Image size 240x240.
FLAIR MR.
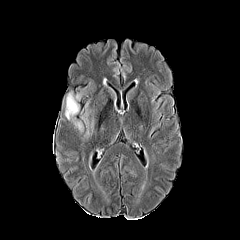
T1-weighted MR image.
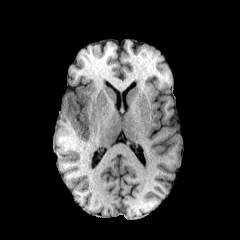
Post-contrast T1-weighted MR image.
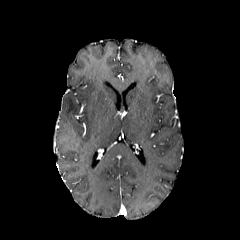
T2-weighted magnetic resonance.
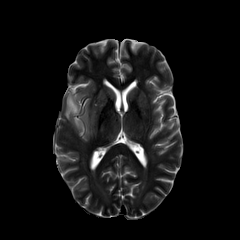
peritumoral edema — 65,90,96,141